FLAIR MRI.
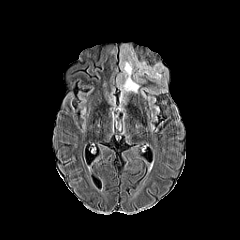
T1-weighted MR image.
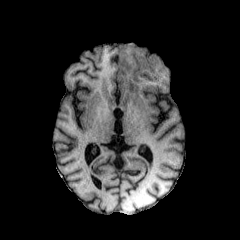
Post-contrast T1-weighted MR.
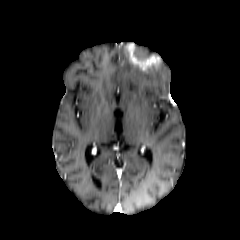
T2-weighted MRI.
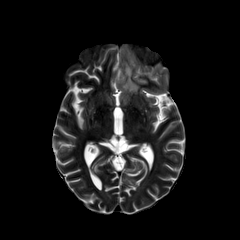
Head
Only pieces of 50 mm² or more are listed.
enhancing tumor at box=[125, 43, 160, 71]
peritumoral edema at box=[121, 47, 163, 92]